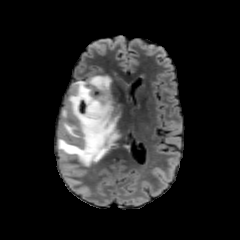
FLAIR magnetic resonance.
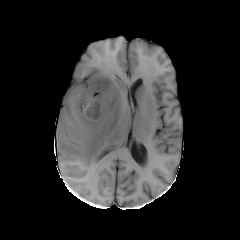
T1-weighted MRI.
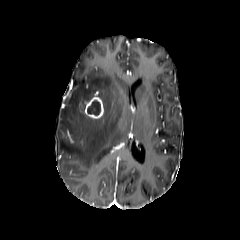
Post-contrast T1-weighted MR of the same slice.
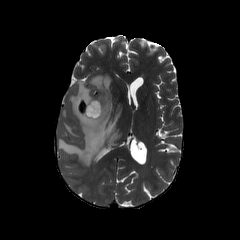
T2-weighted magnetic resonance of the same slice.
Image size 240x240. Axial view. Head.
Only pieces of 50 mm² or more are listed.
enhancing_tumor:
  - 78, 96, 104, 119
necrotic_tumor_core:
  - 87, 100, 100, 115
peritumoral_edema:
  - 58, 76, 121, 166